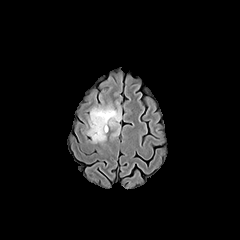
FLAIR MRI.
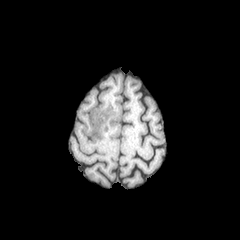
T1-weighted MRI of the same slice.
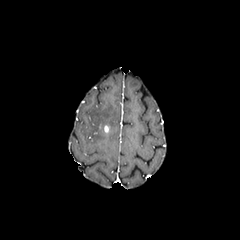
Same slice, post-contrast T1-weighted MRI.
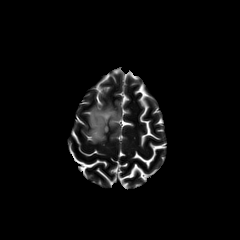
T2-weighted MR of the same slice.
Axial slice
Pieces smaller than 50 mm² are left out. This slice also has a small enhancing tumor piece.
{
  "peritumoral_edema": [
    "bbox(87, 105, 121, 143)"
  ]
}